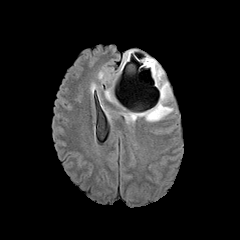
FLAIR magnetic resonance.
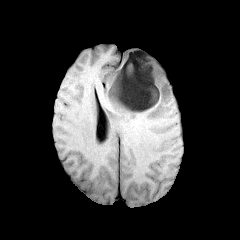
T1-weighted MR.
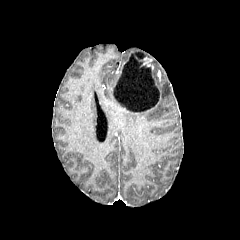
Post-contrast T1-weighted MR of the same slice.
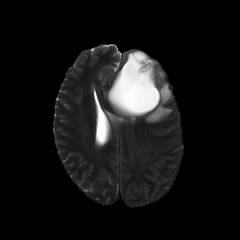
Same slice, T2-weighted magnetic resonance.
Head. 240x240 px.
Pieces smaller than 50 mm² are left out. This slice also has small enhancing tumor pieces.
{
  "necrotic_tumor_core": [
    "<box>114,51,159,112</box>"
  ],
  "peritumoral_edema": [
    "<box>105,60,172,121</box>"
  ]
}